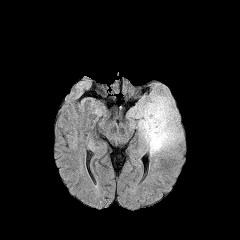
FLAIR magnetic resonance.
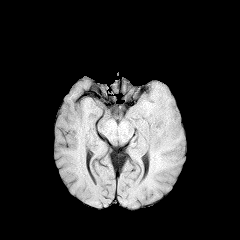
Same slice, T1-weighted MR.
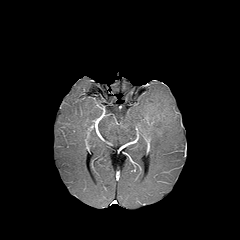
Post-contrast T1-weighted MRI.
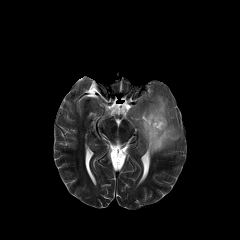
T2-weighted magnetic resonance.
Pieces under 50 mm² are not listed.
The largest peritumoral edema region appears at region(130, 94, 182, 155).